FLAIR MR image.
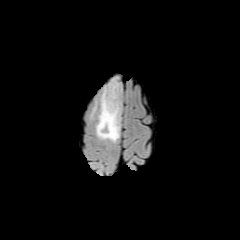
T1-weighted MR.
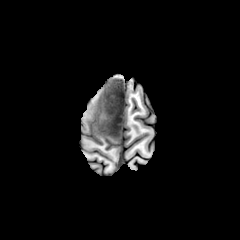
Post-contrast T1-weighted MR.
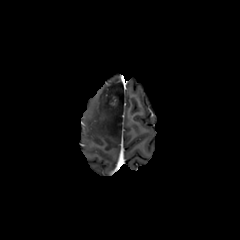
T2-weighted MR image.
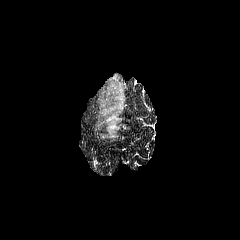
Brain
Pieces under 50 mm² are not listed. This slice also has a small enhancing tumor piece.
peritumoral edema: <box>95,78,122,142</box>